240x240, Axial view, Brain, Slice index 77
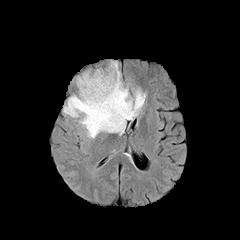
FLAIR magnetic resonance.
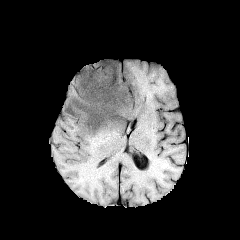
T1-weighted MR of the same slice.
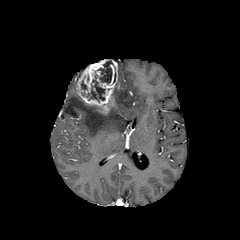
Same slice, post-contrast T1-weighted magnetic resonance.
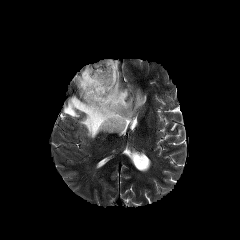
T2-weighted magnetic resonance of the same slice.
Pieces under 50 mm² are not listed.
peritumoral edema = [63, 64, 145, 138]
enhancing tumor = [77, 59, 119, 114]
necrotic tumor core = [97, 60, 113, 83], [86, 79, 105, 102]